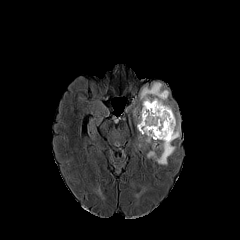
FLAIR MRI.
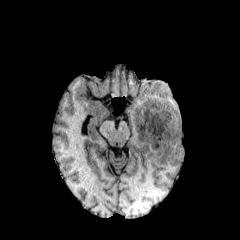
T1-weighted magnetic resonance.
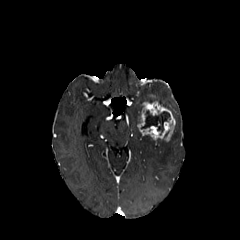
Post-contrast T1-weighted MR.
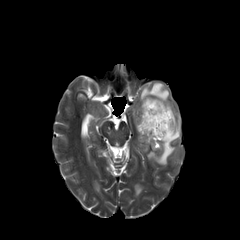
Same slice, T2-weighted MR image.
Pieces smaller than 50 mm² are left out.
necrotic tumor core: {"x1": 141, "y1": 110, "x2": 170, "y2": 134} | peritumoral edema: {"x1": 133, "y1": 82, "x2": 180, "y2": 165} | enhancing tumor: {"x1": 137, "y1": 101, "x2": 175, "y2": 141}